FLAIR MRI.
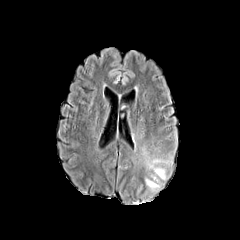
T1-weighted MR.
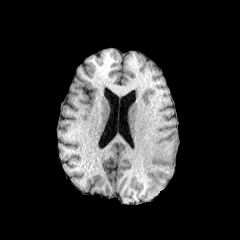
Post-contrast T1-weighted MR image.
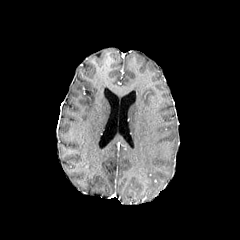
T2-weighted magnetic resonance.
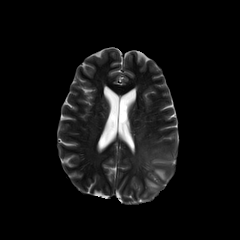
peritumoral edema: (143,150,172,191)